Brain | Axial slice
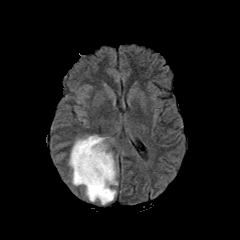
FLAIR MRI.
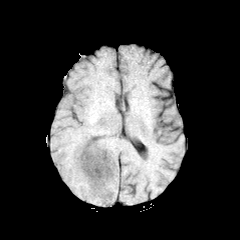
T1-weighted magnetic resonance.
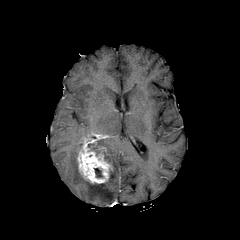
Post-contrast T1-weighted MRI of the same slice.
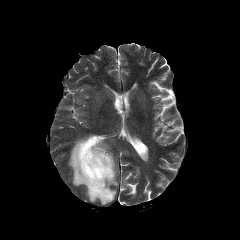
T2-weighted MRI of the same slice.
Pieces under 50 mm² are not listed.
The enhancing tumor is at x1=76 y1=134 x2=112 y2=184. The largest necrotic tumor core region is located at x1=94 y1=168 x2=102 y2=177. The largest peritumoral edema region appears at x1=69 y1=136 x2=117 y2=204.